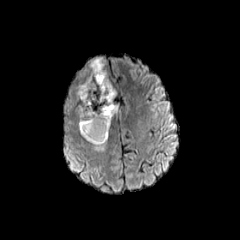
FLAIR MRI.
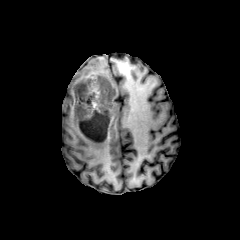
T1-weighted magnetic resonance.
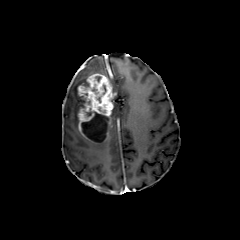
Post-contrast T1-weighted MR.
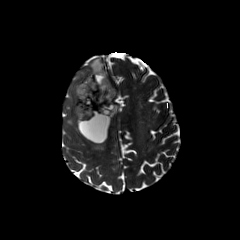
Same slice, T2-weighted MR.
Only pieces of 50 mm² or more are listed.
{"peritumoral_edema": ["box(111, 104, 118, 117)", "box(75, 77, 87, 115)", "box(88, 57, 107, 77)", "box(91, 140, 106, 150)"], "necrotic_tumor_core": ["box(81, 108, 108, 142)"], "enhancing_tumor": ["box(77, 73, 115, 143)"]}